FLAIR MRI.
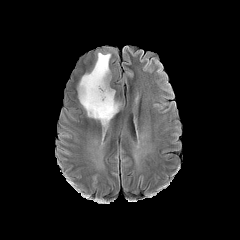
T1-weighted magnetic resonance.
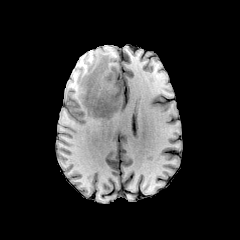
Post-contrast T1-weighted MR.
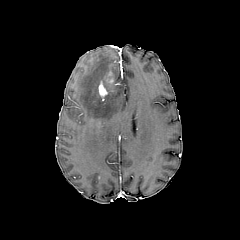
T2-weighted MR.
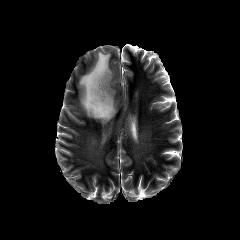
Axial view | 240x240
peritumoral_edema:
  - bbox=[78, 52, 120, 126]
enhancing_tumor:
  - bbox=[105, 72, 113, 83]
  - bbox=[98, 81, 107, 100]